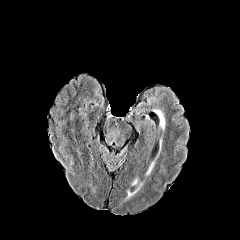
FLAIR MRI.
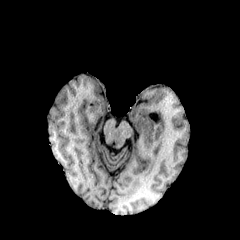
T1-weighted MRI.
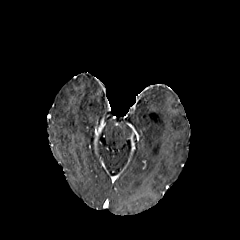
Same slice, post-contrast T1-weighted magnetic resonance.
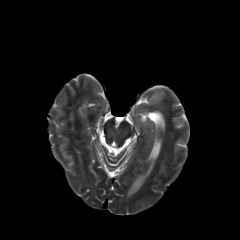
T2-weighted MRI.
Brain. Axial slice.
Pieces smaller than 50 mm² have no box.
peritumoral edema = x1=155 y1=110 x2=165 y2=130